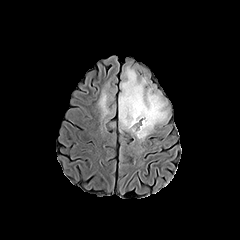
FLAIR MR.
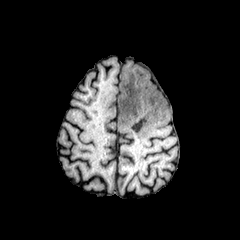
Same slice, T1-weighted magnetic resonance.
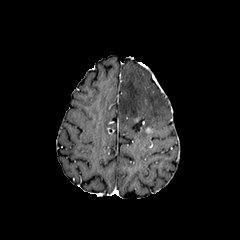
Same slice, post-contrast T1-weighted MR image.
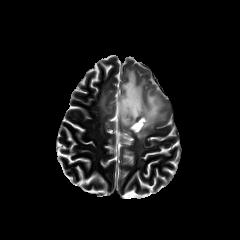
T2-weighted MR image of the same slice.
Axial slice.
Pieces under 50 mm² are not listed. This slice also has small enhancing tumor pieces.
2 necrotic tumor core regions appear at <box>124,87,137,115</box>, <box>132,117,146,132</box>. 2 peritumoral edema regions are bounded by <box>119,67,167,140</box>, <box>99,91,109,116</box>.